FLAIR MR.
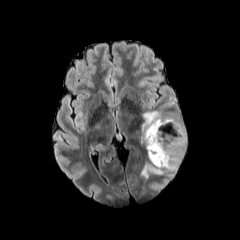
T1-weighted magnetic resonance.
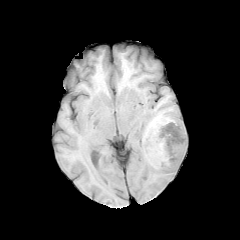
Post-contrast T1-weighted magnetic resonance.
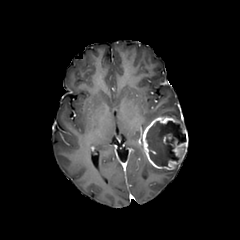
T2-weighted MR image.
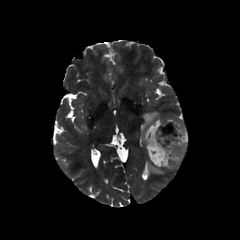
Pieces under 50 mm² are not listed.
peritumoral edema — (left=141, top=161, right=179, bottom=177), (left=142, top=111, right=181, bottom=131)
necrotic tumor core — (left=146, top=121, right=186, bottom=166)
enhancing tumor — (left=141, top=117, right=188, bottom=169)